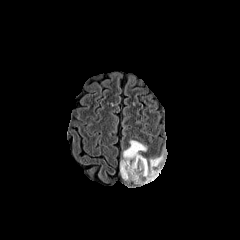
FLAIR MRI.
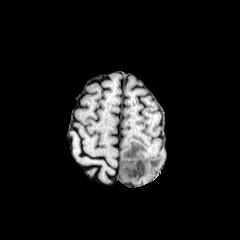
T1-weighted MR.
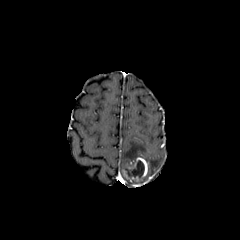
Post-contrast T1-weighted MRI.
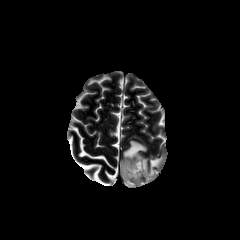
T2-weighted MR.
Axial slice
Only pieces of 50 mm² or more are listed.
The enhancing tumor is bounded by (x1=121, y1=157, x2=154, y2=185). The 2 largest peritumoral edema regions are bounded by (x1=120, y1=140, x2=146, y2=172), (x1=148, y1=152, x2=164, y2=179). The necrotic tumor core is bounded by (x1=125, y1=160, x2=144, y2=177).